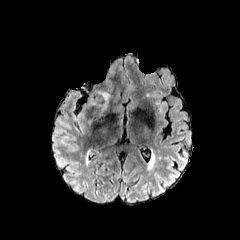
FLAIR magnetic resonance.
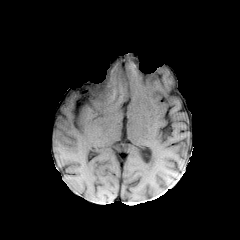
Same slice, T1-weighted MR.
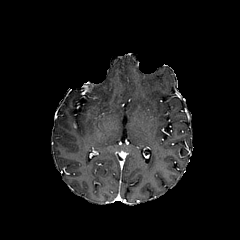
Same slice, post-contrast T1-weighted MR.
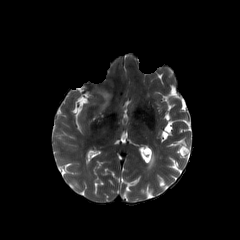
Same slice, T2-weighted MRI.
Head, 240x240, Axial view
The peritumoral edema lies within rect(98, 91, 110, 109).